FLAIR MR.
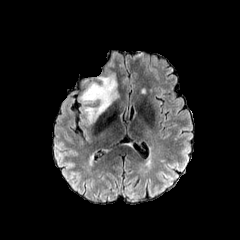
T1-weighted MRI.
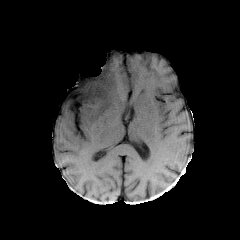
Post-contrast T1-weighted MR.
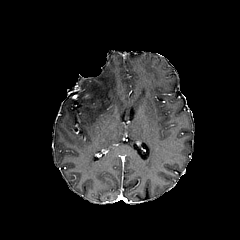
T2-weighted MRI.
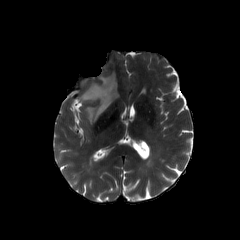
Head
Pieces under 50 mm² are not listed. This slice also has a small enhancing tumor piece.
peritumoral_edema:
  - bbox(79, 74, 118, 123)